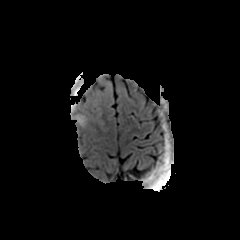
FLAIR MR.
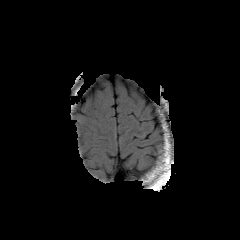
T1-weighted MRI.
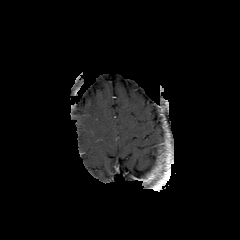
Same slice, post-contrast T1-weighted MR image.
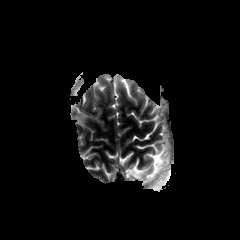
T2-weighted MR of the same slice.
Brain.
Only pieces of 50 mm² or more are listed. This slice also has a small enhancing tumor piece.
The largest peritumoral edema region is located at 71, 113, 88, 127.